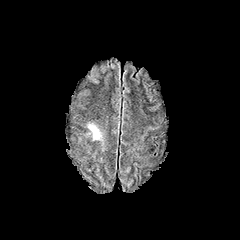
FLAIR MRI.
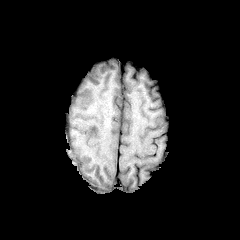
T1-weighted MRI of the same slice.
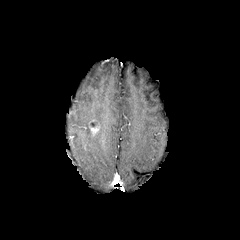
Post-contrast T1-weighted MR image of the same slice.
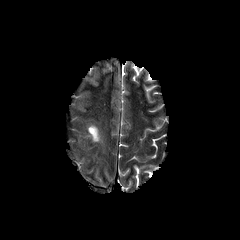
Same slice, T2-weighted MRI.
Head. Axial view.
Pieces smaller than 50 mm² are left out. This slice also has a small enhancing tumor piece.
peritumoral edema: [92,130,100,140]